FLAIR magnetic resonance.
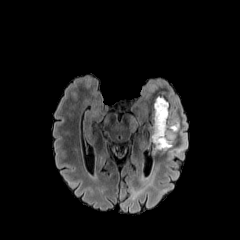
T1-weighted magnetic resonance.
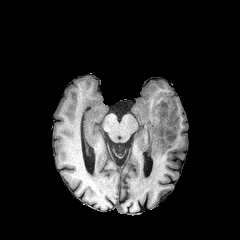
Post-contrast T1-weighted MR image.
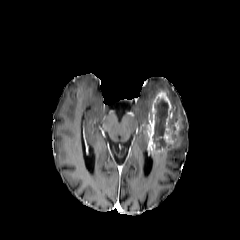
T2-weighted MRI.
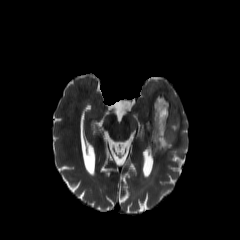
Brain
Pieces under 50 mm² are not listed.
The largest enhancing tumor region is located at 147, 91, 180, 155. The largest necrotic tumor core region is at 153, 99, 168, 149. The peritumoral edema appears at 146, 88, 188, 163.